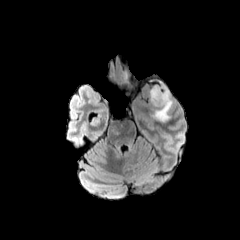
FLAIR MR image.
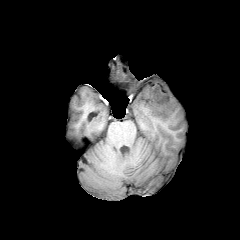
T1-weighted MR.
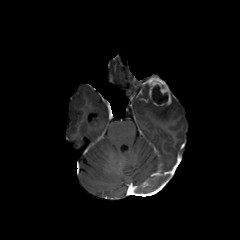
Same slice, post-contrast T1-weighted MR.
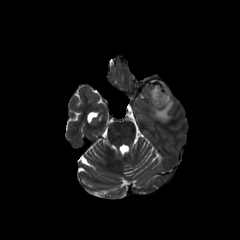
T2-weighted MRI of the same slice.
240x240
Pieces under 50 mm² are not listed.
peritumoral edema: bounding box [149, 97, 174, 122]
enhancing tumor: bounding box [147, 78, 171, 106]
necrotic tumor core: bounding box [152, 85, 168, 104]